FLAIR magnetic resonance.
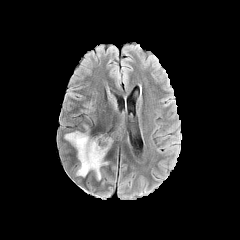
T1-weighted MR image.
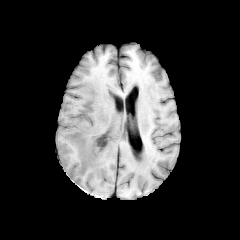
Post-contrast T1-weighted MR image.
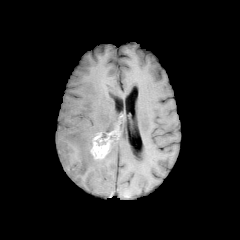
T2-weighted MR image.
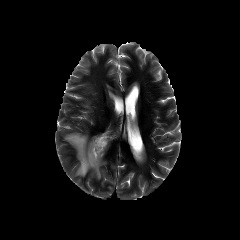
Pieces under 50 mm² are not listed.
peritumoral edema — region(64, 124, 109, 179)
enhancing tumor — region(90, 131, 110, 159)